Image width 240 mm. Head.
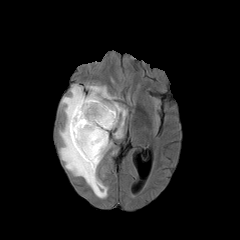
FLAIR MR.
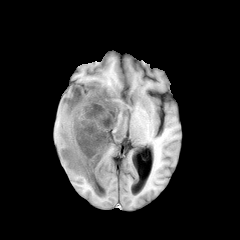
Same slice, T1-weighted magnetic resonance.
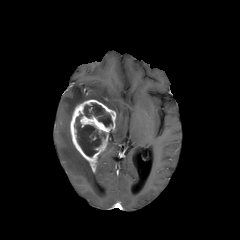
Post-contrast T1-weighted MR image of the same slice.
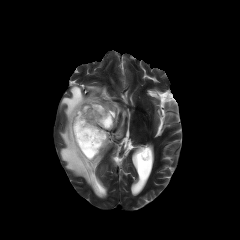
T2-weighted MR image of the same slice.
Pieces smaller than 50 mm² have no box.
peritumoral edema: bounding box [x1=59, y1=84, x2=127, y2=198]
enhancing tumor: bounding box [x1=70, y1=99, x2=116, y2=172]
necrotic tumor core: bounding box [x1=84, y1=103, x2=112, y2=126], [x1=75, y1=114, x2=105, y2=156]